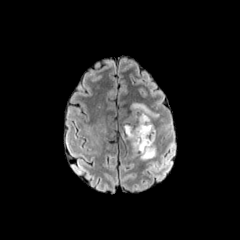
FLAIR MR.
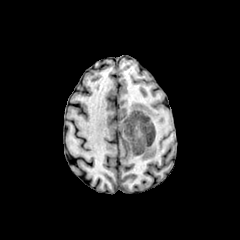
T1-weighted magnetic resonance of the same slice.
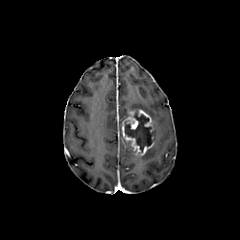
Same slice, post-contrast T1-weighted magnetic resonance.
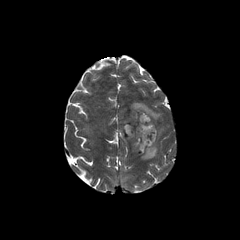
T2-weighted MR image of the same slice.
Axial plane; Brain
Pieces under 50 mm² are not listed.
{"necrotic_tumor_core": ["[125, 111, 153, 151]"], "enhancing_tumor": ["[121, 109, 155, 155]"], "peritumoral_edema": ["[130, 102, 158, 120]", "[139, 144, 156, 159]"]}